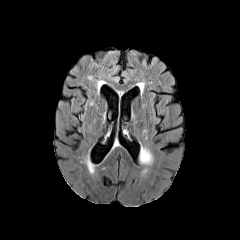
FLAIR MR.
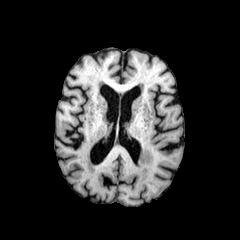
T1-weighted MRI.
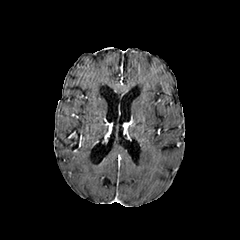
Same slice, post-contrast T1-weighted MR image.
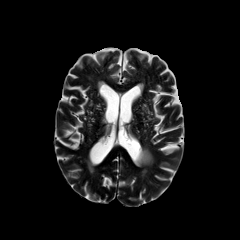
Same slice, T2-weighted MR.
Brain
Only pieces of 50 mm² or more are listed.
{
  "peritumoral_edema": [
    "(left=139, top=146, right=153, bottom=165)"
  ]
}